Slice index 48 | 240x240 | Brain
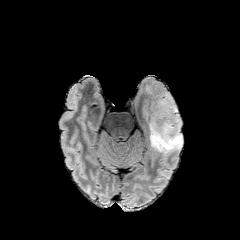
FLAIR MR.
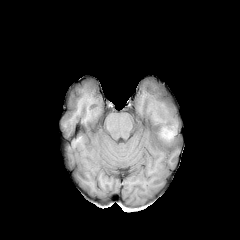
T1-weighted magnetic resonance.
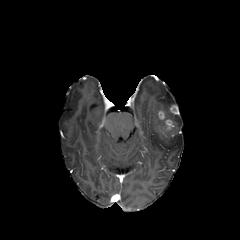
Post-contrast T1-weighted MR.
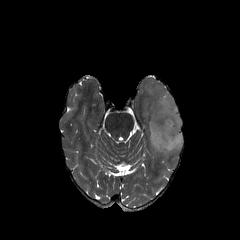
T2-weighted MR image.
enhancing tumor = [169, 105, 178, 114], [158, 111, 173, 129]
peritumoral edema = [142, 84, 183, 158]